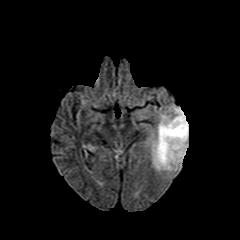
FLAIR MR image.
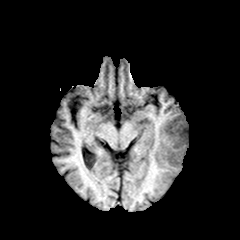
T1-weighted MRI.
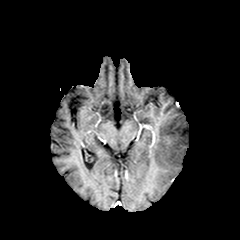
Post-contrast T1-weighted MR image.
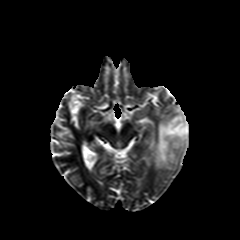
T2-weighted MRI.
Axial view. Head.
Annotated regions:
• peritumoral edema: 151:106:188:170